Slice 74 of 155, Brain, Image width 240 mm, 1.00 mm slice spacing
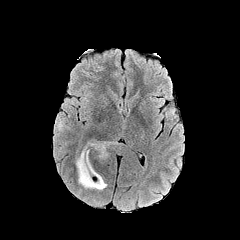
FLAIR MRI.
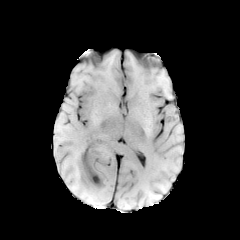
T1-weighted MRI.
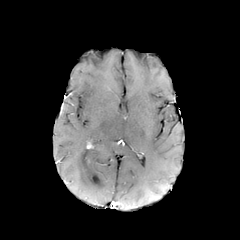
Post-contrast T1-weighted MR image.
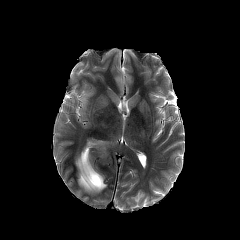
T2-weighted MR of the same slice.
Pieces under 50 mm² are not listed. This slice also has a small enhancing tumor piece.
peritumoral edema: 75:145:107:191, 90:140:111:157